Image width 240 mm, 1.00 mm slice spacing. Axial plane.
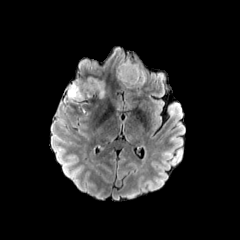
FLAIR MRI.
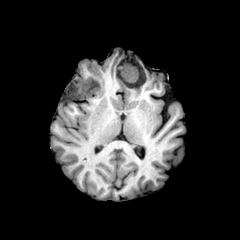
T1-weighted magnetic resonance.
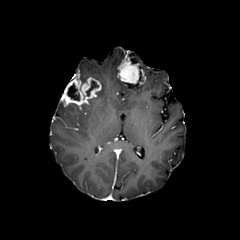
Post-contrast T1-weighted MRI of the same slice.
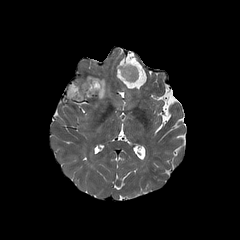
T2-weighted magnetic resonance.
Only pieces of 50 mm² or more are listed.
Findings:
* enhancing tumor: {"x1": 118, "y1": 60, "x2": 145, "y2": 85}, {"x1": 62, "y1": 75, "x2": 101, "y2": 108}
* peritumoral edema: {"x1": 122, "y1": 81, "x2": 142, "y2": 88}, {"x1": 98, "y1": 80, "x2": 105, "y2": 97}
* necrotic tumor core: {"x1": 67, "y1": 83, "x2": 79, "y2": 100}, {"x1": 86, "y1": 81, "x2": 98, "y2": 96}